Head. Axial slice. Slice 46 of 155.
FLAIR MR.
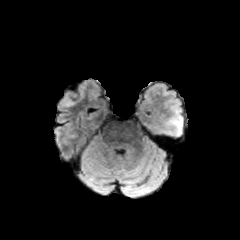
T1-weighted MRI.
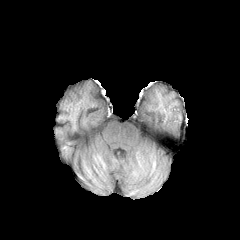
Post-contrast T1-weighted magnetic resonance.
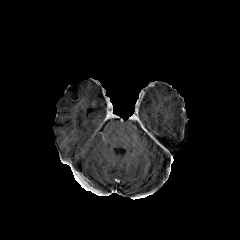
T2-weighted MR.
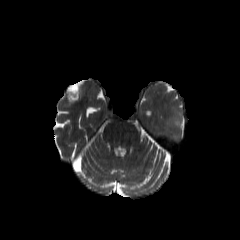
- peritumoral edema: region(167, 116, 182, 128)